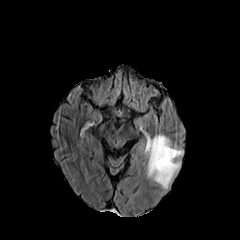
FLAIR MR.
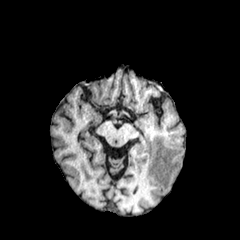
T1-weighted MRI.
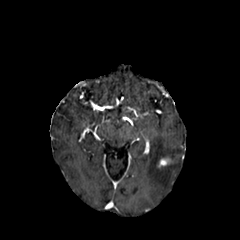
Post-contrast T1-weighted MRI.
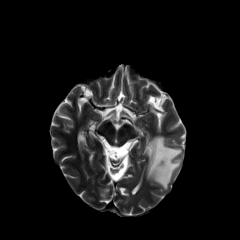
T2-weighted MR image.
Head
enhancing tumor: <bbox>157, 157, 172, 168</bbox> | peritumoral edema: <bbox>147, 135, 182, 190</bbox>